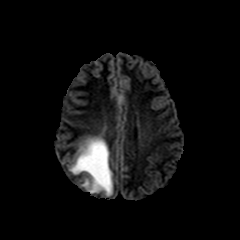
FLAIR MRI.
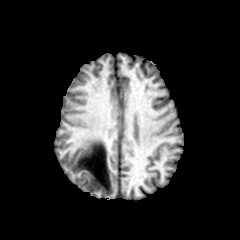
T1-weighted MRI of the same slice.
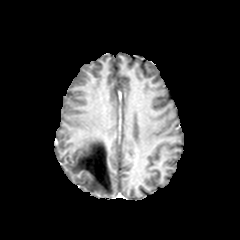
Post-contrast T1-weighted MRI.
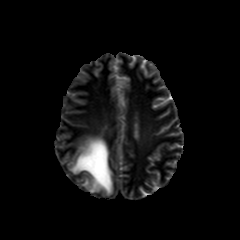
T2-weighted magnetic resonance.
240x240. Head.
- peritumoral edema: (69, 136, 113, 196)